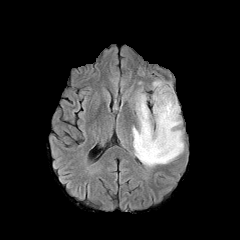
FLAIR magnetic resonance.
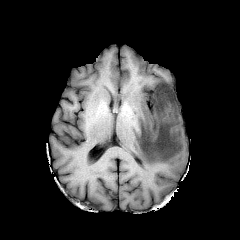
Same slice, T1-weighted MR image.
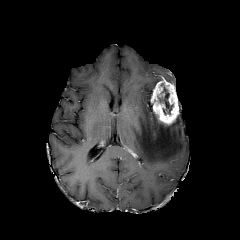
Post-contrast T1-weighted MR of the same slice.
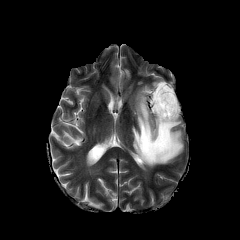
Same slice, T2-weighted MRI.
240x240 px, Brain
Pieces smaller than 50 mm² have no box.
necrotic_tumor_core:
  - [163, 87, 172, 113]
enhancing_tumor:
  - [150, 78, 179, 125]
peritumoral_edema:
  - [132, 91, 183, 167]